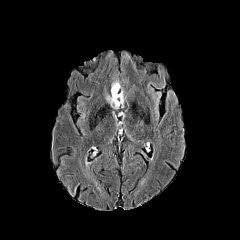
FLAIR MR.
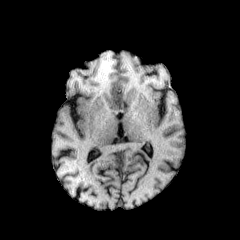
T1-weighted MRI.
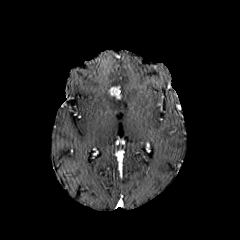
Post-contrast T1-weighted MRI.
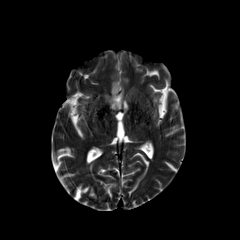
T2-weighted magnetic resonance of the same slice.
Head | 240x240 | Axial plane
Segmented structures:
* peritumoral edema: [x1=106, y1=91, x2=125, y2=109], [x1=111, y1=79, x2=120, y2=86]
* enhancing tumor: [x1=110, y1=86, x2=121, y2=98]